FLAIR MRI.
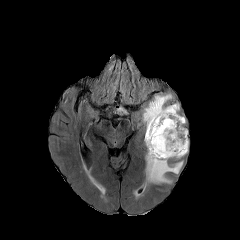
T1-weighted MR.
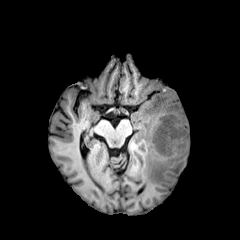
Post-contrast T1-weighted magnetic resonance.
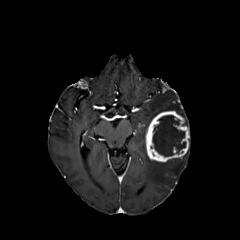
T2-weighted MR.
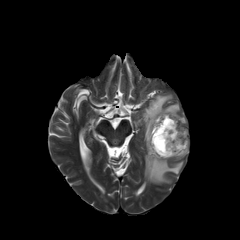
240x240, Head
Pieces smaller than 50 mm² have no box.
Annotated regions:
• enhancing tumor: 145, 110, 189, 162
• necrotic tumor core: 153, 115, 185, 156
• peritumoral edema: 146, 155, 183, 183; 143, 94, 179, 130